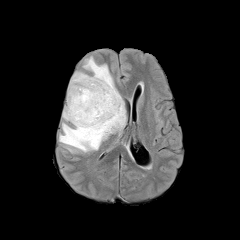
FLAIR MR image.
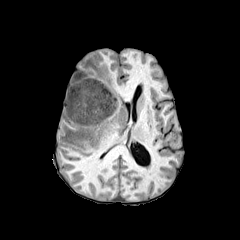
T1-weighted MRI of the same slice.
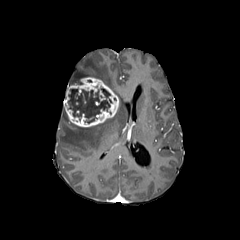
Same slice, post-contrast T1-weighted magnetic resonance.
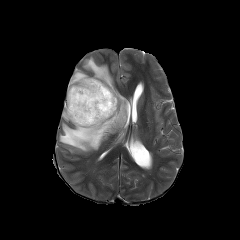
T2-weighted MR image of the same slice.
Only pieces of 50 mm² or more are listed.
<segmentation>
  <peritumoral_edema>(62, 108, 69, 120), (59, 56, 126, 152)</peritumoral_edema>
  <enhancing_tumor>(64, 77, 118, 127)</enhancing_tumor>
  <necrotic_tumor_core>(68, 88, 110, 123)</necrotic_tumor_core>
</segmentation>